Head
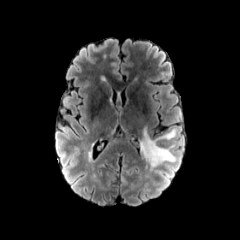
FLAIR MR image.
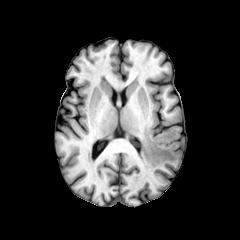
T1-weighted MRI of the same slice.
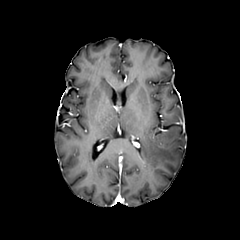
Post-contrast T1-weighted MR.
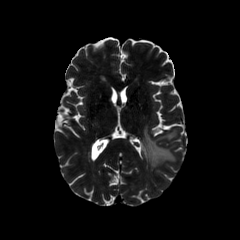
T2-weighted MRI.
Segmented structures:
• peritumoral edema: box(140, 128, 176, 167)